FLAIR MR image.
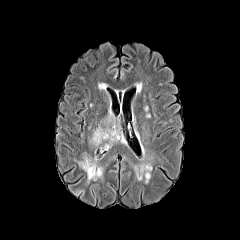
T1-weighted MR.
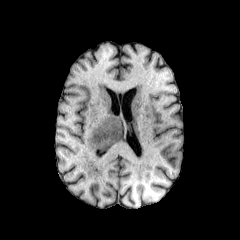
Post-contrast T1-weighted MR.
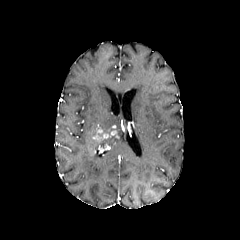
T2-weighted MRI.
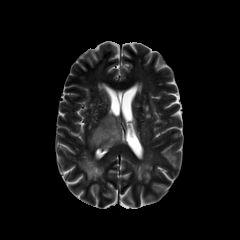
Axial view | 240x240 px | Brain
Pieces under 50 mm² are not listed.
Segmented structures:
- enhancing tumor: <bbox>92, 125, 119, 144</bbox>
- necrotic tumor core: <bbox>100, 138, 110, 145</bbox>
- peritumoral edema: <bbox>78, 153, 103, 183</bbox>, <bbox>98, 112, 123, 147</bbox>